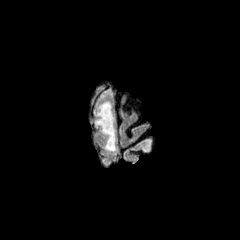
FLAIR MR image.
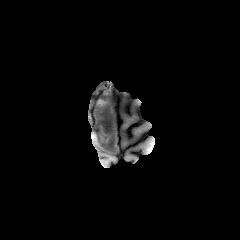
T1-weighted MRI.
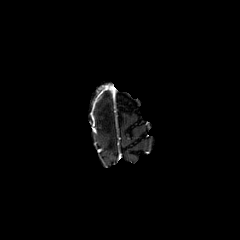
Same slice, post-contrast T1-weighted MR image.
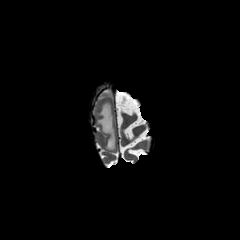
T2-weighted MR image.
240x240 px | Head | Axial plane
{
  "peritumoral_edema": [
    "96 101 115 150"
  ]
}